Slice 25 of 155; Axial slice; 240x240 px; Brain
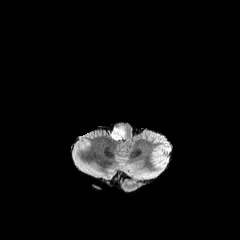
FLAIR magnetic resonance.
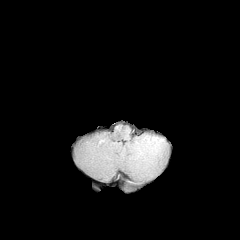
T1-weighted MRI of the same slice.
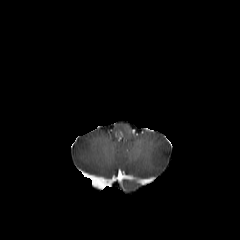
Post-contrast T1-weighted MRI of the same slice.
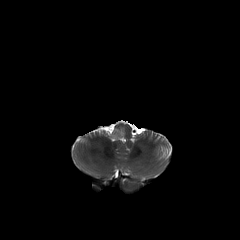
T2-weighted MR image of the same slice.
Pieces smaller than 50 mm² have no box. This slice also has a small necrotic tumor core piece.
The peritumoral edema appears at left=110, top=124, right=126, bottom=140. The enhancing tumor is located at left=115, top=130, right=123, bottom=141.